FLAIR MR.
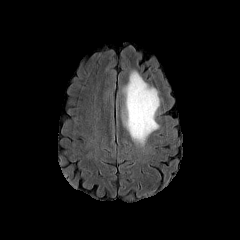
T1-weighted MRI.
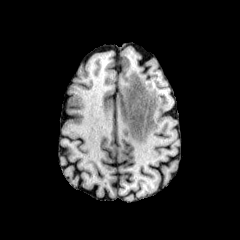
Post-contrast T1-weighted MR image.
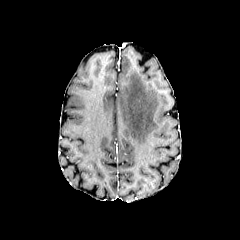
T2-weighted MR.
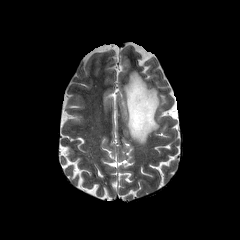
The peritumoral edema is bounded by (123, 71, 159, 145).